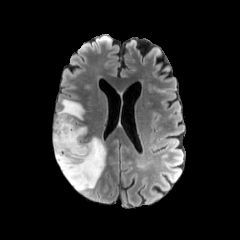
FLAIR MRI.
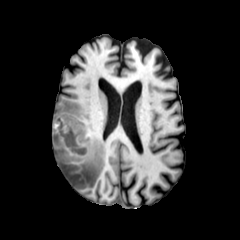
T1-weighted MRI.
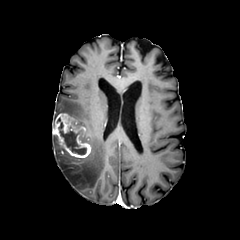
Post-contrast T1-weighted MR.
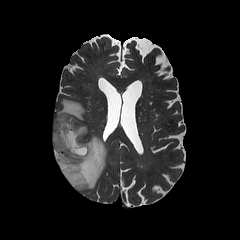
Same slice, T2-weighted MR.
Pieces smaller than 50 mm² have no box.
{
  "peritumoral_edema": [
    "bbox(53, 99, 106, 191)"
  ],
  "enhancing_tumor": [
    "bbox(52, 112, 91, 158)"
  ],
  "necrotic_tumor_core": [
    "bbox(58, 122, 86, 154)"
  ]
}